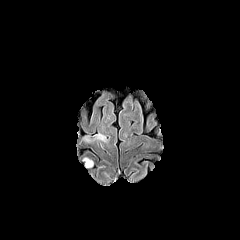
FLAIR MR image.
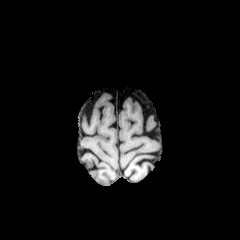
T1-weighted MRI.
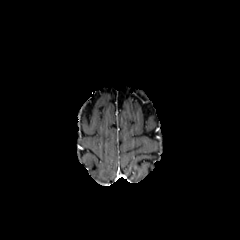
Post-contrast T1-weighted magnetic resonance of the same slice.
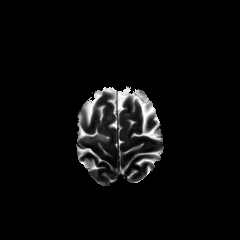
T2-weighted MRI.
Brain
peritumoral edema: 96:133:105:141, 84:158:93:167